FLAIR MR image.
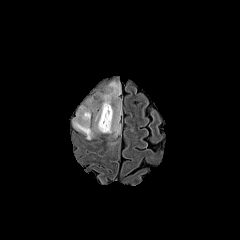
T1-weighted MRI.
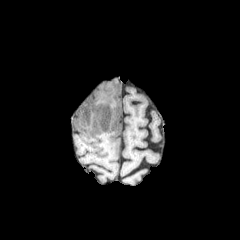
Post-contrast T1-weighted magnetic resonance.
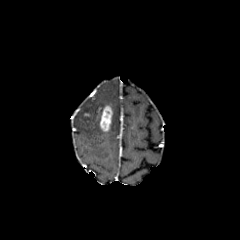
T2-weighted magnetic resonance.
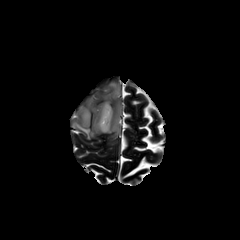
Image size 240x240 | Axial view
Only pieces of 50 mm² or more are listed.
peritumoral edema at box=[72, 81, 121, 139]
enhancing tumor at box=[99, 105, 112, 131]